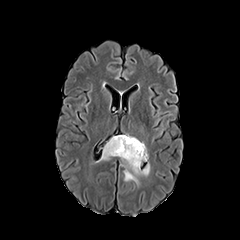
FLAIR MR.
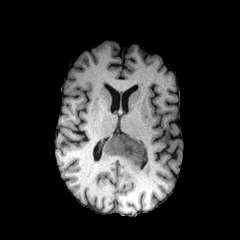
Same slice, T1-weighted magnetic resonance.
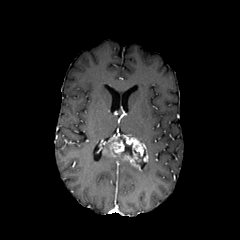
Post-contrast T1-weighted MR of the same slice.
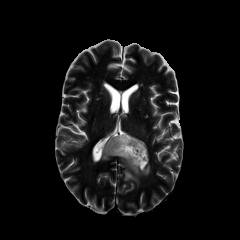
Same slice, T2-weighted MRI.
240x240 px, Head, Axial slice
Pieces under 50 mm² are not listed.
necrotic tumor core at bbox(137, 149, 145, 166); bbox(117, 136, 136, 157)
peritumoral edema at bbox(99, 152, 111, 160); bbox(119, 157, 150, 184)
enhancing tumor at bbox(103, 135, 148, 170)